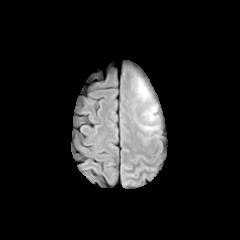
FLAIR MRI.
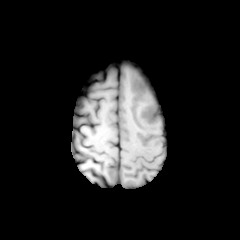
T1-weighted MR.
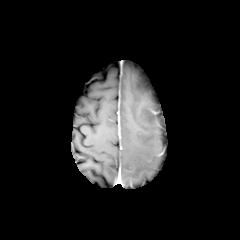
Post-contrast T1-weighted magnetic resonance.
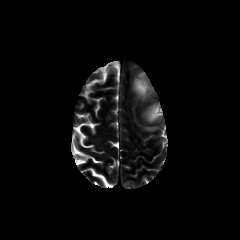
T2-weighted MRI.
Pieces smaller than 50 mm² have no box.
peritumoral edema: rect(145, 106, 157, 121); rect(135, 77, 147, 99)